Slice 129/155 | Axial plane
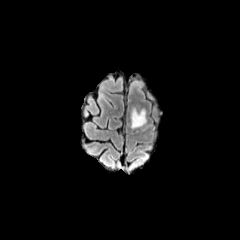
FLAIR MR image.
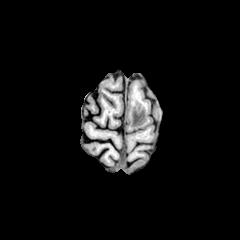
T1-weighted magnetic resonance.
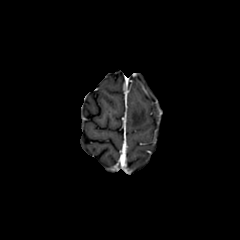
Post-contrast T1-weighted magnetic resonance.
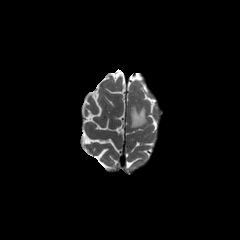
T2-weighted magnetic resonance.
peritumoral edema = x1=131 y1=107 x2=146 y2=128